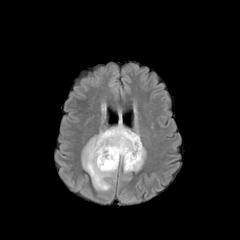
FLAIR MR image.
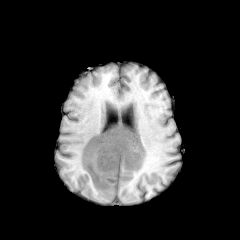
T1-weighted MR image.
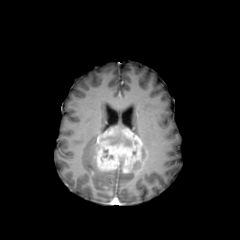
Post-contrast T1-weighted MRI.
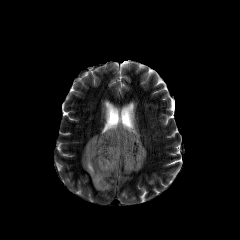
T2-weighted MR.
Head.
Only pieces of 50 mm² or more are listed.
Findings:
- enhancing tumor: l=95, t=127, r=142, b=172
- peritumoral edema: l=82, t=135, r=117, b=191; l=131, t=146, r=146, b=171; l=116, t=115, r=124, b=129
- necrotic tumor core: l=107, t=132, r=131, b=145